Head | Axial slice | 240x240 px | Slice 104/155
FLAIR MR image.
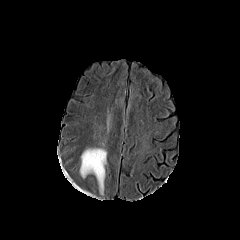
T1-weighted MR.
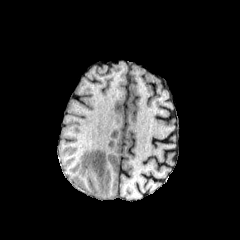
Post-contrast T1-weighted magnetic resonance.
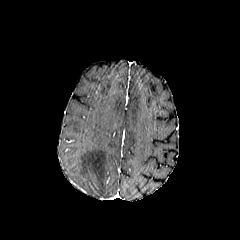
T2-weighted magnetic resonance.
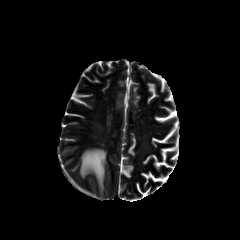
peritumoral edema at left=80, top=148, right=106, bottom=194